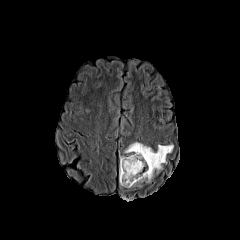
FLAIR MR image.
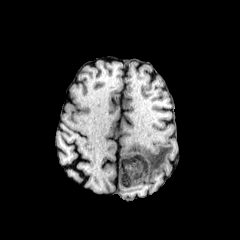
Same slice, T1-weighted MRI.
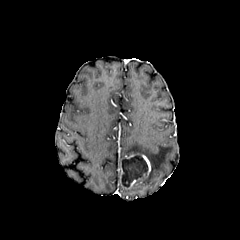
Post-contrast T1-weighted magnetic resonance.
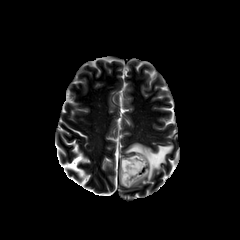
T2-weighted MR image.
Axial slice | 240x240
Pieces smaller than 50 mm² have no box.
<segmentation>
  <necrotic_tumor_core>[121, 155, 147, 187]</necrotic_tumor_core>
  <enhancing_tumor>[119, 154, 151, 188]</enhancing_tumor>
  <peritumoral_edema>[124, 142, 173, 182]</peritumoral_edema>
</segmentation>